FLAIR MRI.
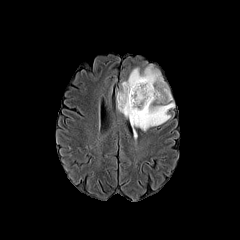
T1-weighted magnetic resonance.
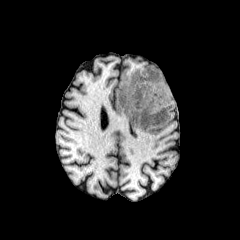
Post-contrast T1-weighted MRI.
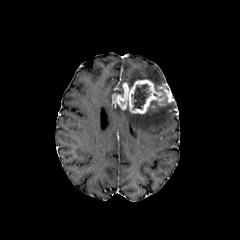
T2-weighted MRI.
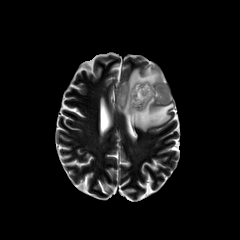
Axial view.
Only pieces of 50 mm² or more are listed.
enhancing tumor: bounding box <box>116,79,172,113</box>
necrotic tumor core: bounding box <box>131,84,150,109</box>
peritumoral edema: bounding box <box>117,102,174,131</box>, <box>127,65,163,85</box>